Image size 240x240
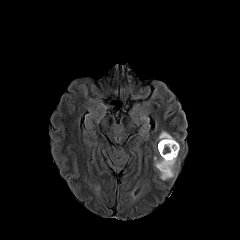
FLAIR MR image.
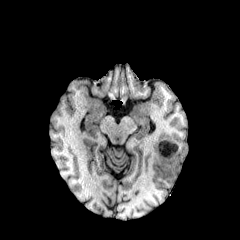
T1-weighted MR image.
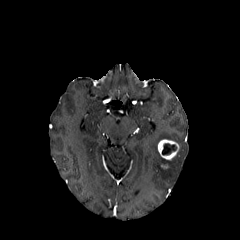
Post-contrast T1-weighted MR image of the same slice.
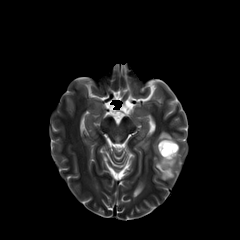
T2-weighted MR image.
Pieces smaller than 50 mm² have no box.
Annotated regions:
- necrotic tumor core: 162, 143, 176, 154
- peritumoral edema: 153, 153, 179, 180; 156, 131, 176, 141
- enhancing tumor: 158, 139, 179, 160